240x240 px | Axial view | Brain | Image width 240 mm
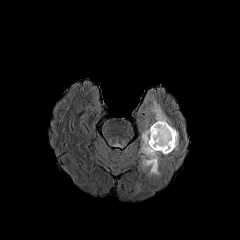
FLAIR MRI.
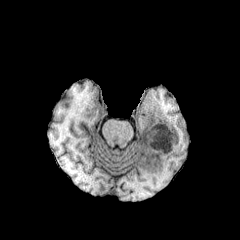
T1-weighted MR of the same slice.
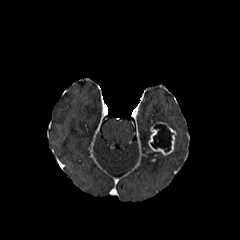
Post-contrast T1-weighted MR image.
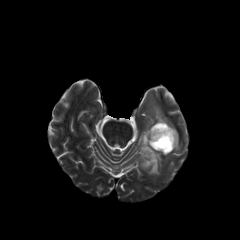
Same slice, T2-weighted MR image.
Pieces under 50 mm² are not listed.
peritumoral edema at [140,129,160,175], [150,101,178,150]
necrotic tumor core at [150,124,173,152]
enhancing tumor at [148,122,176,155]